Slice index 62
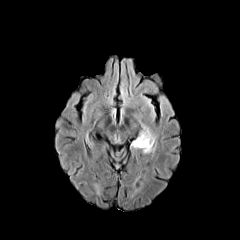
FLAIR magnetic resonance.
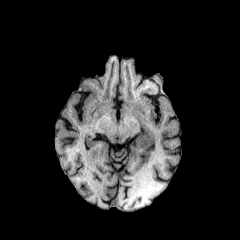
T1-weighted MR.
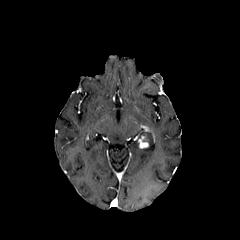
Post-contrast T1-weighted MR image.
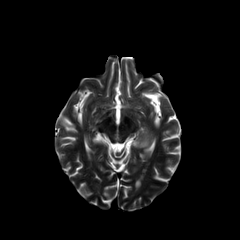
Same slice, T2-weighted MRI.
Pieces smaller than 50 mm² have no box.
enhancing_tumor:
  - (138, 135, 148, 148)
peritumoral_edema:
  - (138, 128, 155, 152)
  - (131, 139, 138, 148)